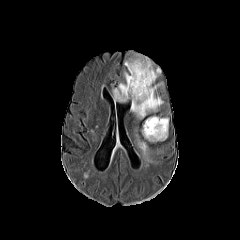
FLAIR magnetic resonance.
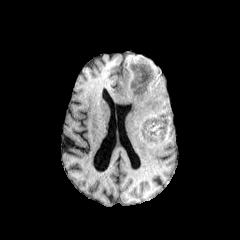
T1-weighted MR of the same slice.
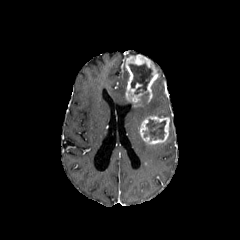
Same slice, post-contrast T1-weighted MR.
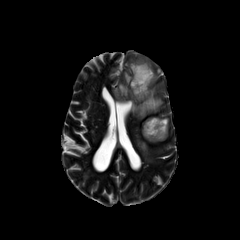
T2-weighted MR image.
Image size 240x240
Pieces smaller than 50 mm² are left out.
necrotic tumor core — l=143, t=119, r=165, b=140; l=128, t=64, r=152, b=94
peritumoral edema — l=112, t=72, r=128, b=101; l=138, t=140, r=147, b=156; l=130, t=83, r=163, b=119
enhancing tumor — l=140, t=116, r=169, b=144; l=125, t=54, r=158, b=107